Axial view; Slice index 128; Image width 240 mm, 1.00 mm slice spacing; 240x240
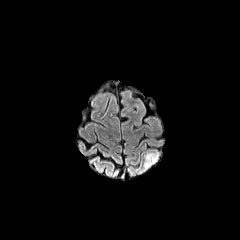
FLAIR MR.
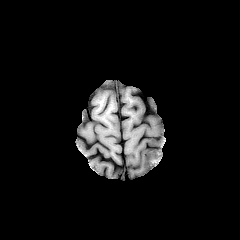
T1-weighted MRI.
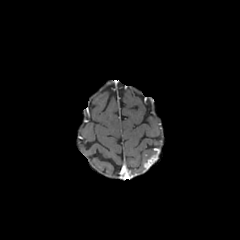
Same slice, post-contrast T1-weighted MRI.
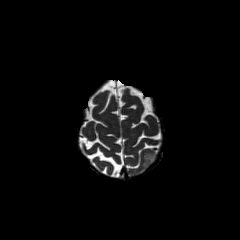
Same slice, T2-weighted MRI.
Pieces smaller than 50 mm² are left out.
Segmented structures:
• enhancing tumor: [x1=144, y1=155, x2=157, y2=169]
• peritumoral edema: [x1=144, y1=152, x2=158, y2=162]